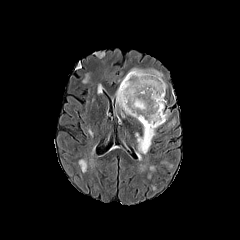
FLAIR magnetic resonance.
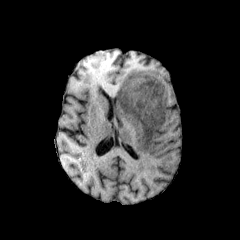
Same slice, T1-weighted MRI.
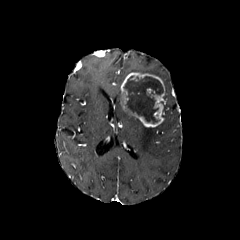
Same slice, post-contrast T1-weighted MRI.
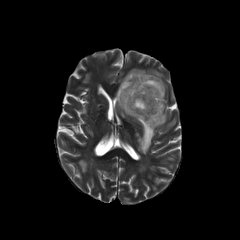
T2-weighted MRI of the same slice.
Head; 240x240
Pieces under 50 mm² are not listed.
Findings:
• necrotic tumor core: 124,76,163,122
• peritumoral edema: 162,110,169,123; 128,68,163,79; 135,124,155,154; 116,86,127,117
• enhancing tumor: 120,72,166,127